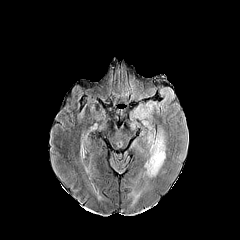
FLAIR MR image.
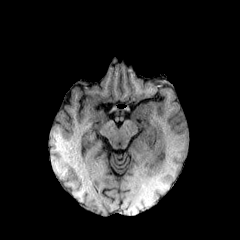
Same slice, T1-weighted MR.
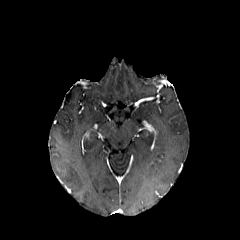
Post-contrast T1-weighted magnetic resonance.
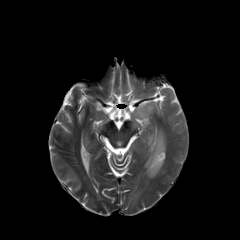
Same slice, T2-weighted MRI.
Axial plane
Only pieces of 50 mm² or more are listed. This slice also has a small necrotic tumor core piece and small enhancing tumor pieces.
The 3 largest peritumoral edema regions are bounded by bbox=[145, 132, 154, 147]; bbox=[134, 103, 153, 119]; bbox=[145, 127, 165, 178].